Brain
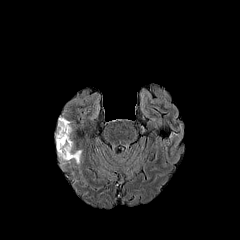
FLAIR MRI.
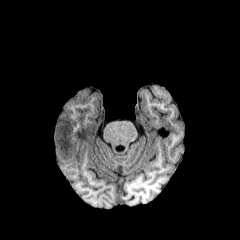
T1-weighted MRI of the same slice.
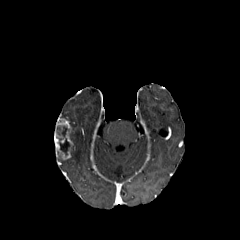
Post-contrast T1-weighted MR.
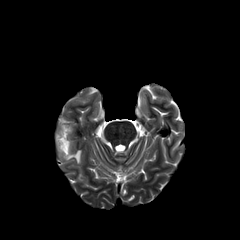
T2-weighted MR image.
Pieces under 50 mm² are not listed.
enhancing tumor — [54,117,73,159]
necrotic tumor core — [56,126,67,137], [59,138,70,155]
peritumoral edema — [58,150,81,164]